Slice 95/155, Brain
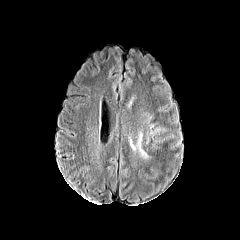
FLAIR MR image.
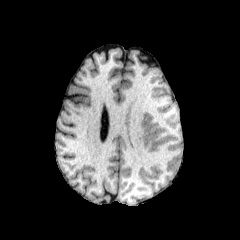
T1-weighted MRI.
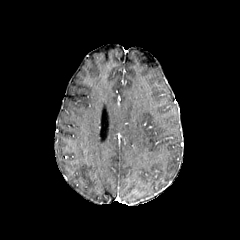
Post-contrast T1-weighted MR.
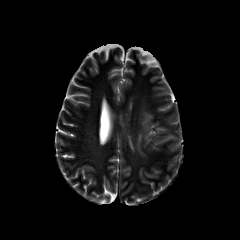
T2-weighted MRI.
The peritumoral edema is located at box=[137, 133, 146, 156].